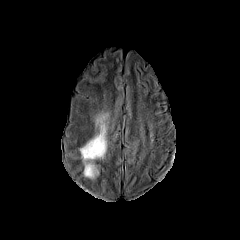
FLAIR magnetic resonance.
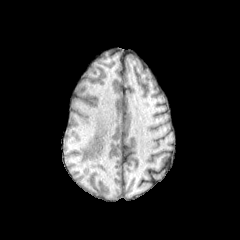
T1-weighted MRI.
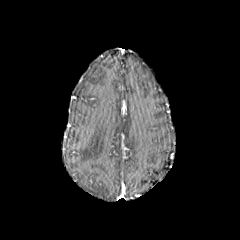
Post-contrast T1-weighted MR image of the same slice.
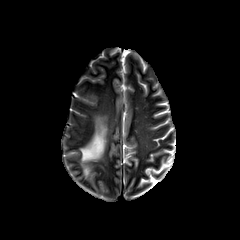
T2-weighted MRI.
240x240
{
  "peritumoral_edema": [
    "l=80, t=116, r=107, b=176"
  ]
}